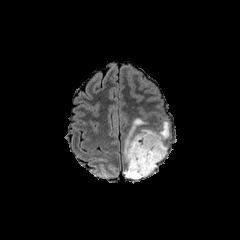
FLAIR MR.
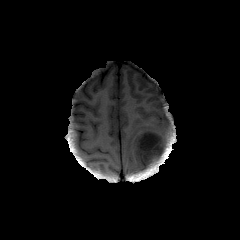
T1-weighted MR image.
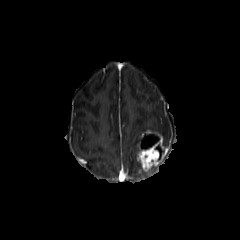
Same slice, post-contrast T1-weighted MR.
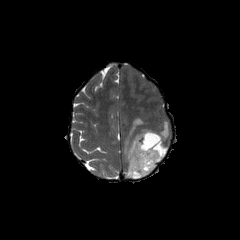
T2-weighted magnetic resonance of the same slice.
Axial plane
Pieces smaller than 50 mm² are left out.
Findings:
• necrotic tumor core: bbox=[155, 144, 164, 160]; bbox=[140, 134, 159, 149]
• peritumoral edema: bbox=[124, 118, 154, 179]; bbox=[155, 121, 170, 145]
• enhancing tumor: bbox=[136, 130, 168, 175]